FLAIR MRI.
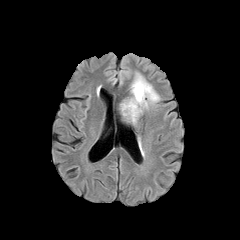
T1-weighted magnetic resonance.
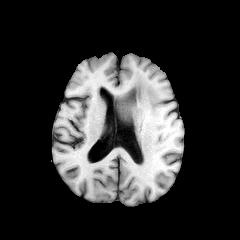
Post-contrast T1-weighted MR.
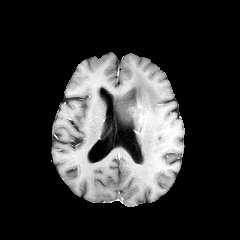
T2-weighted magnetic resonance.
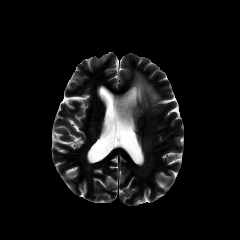
240x240 px; Head
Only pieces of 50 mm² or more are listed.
The largest peritumoral edema region appears at 121, 74, 159, 123.